FLAIR MR.
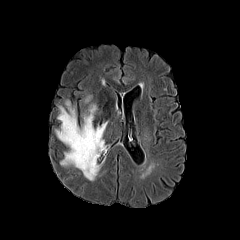
T1-weighted MR image.
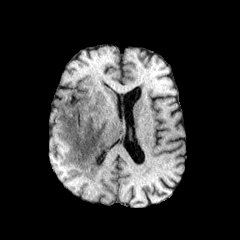
Post-contrast T1-weighted MR.
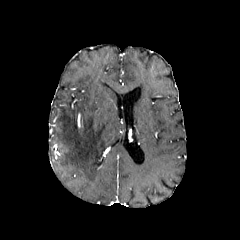
T2-weighted magnetic resonance.
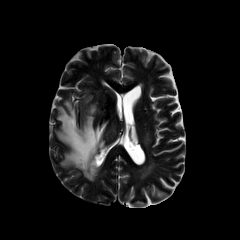
Head
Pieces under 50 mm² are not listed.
The largest peritumoral edema region is located at (x1=55, y1=100, x2=107, y2=180).